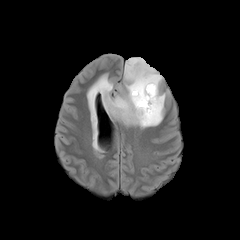
FLAIR MR.
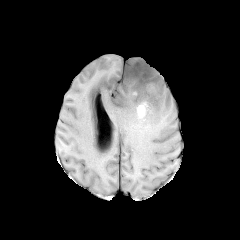
Same slice, T1-weighted MR.
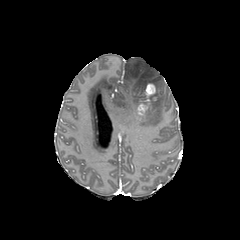
Post-contrast T1-weighted magnetic resonance of the same slice.
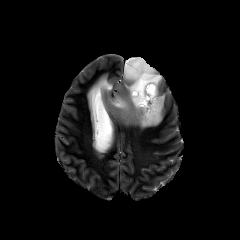
T2-weighted MRI.
240x240
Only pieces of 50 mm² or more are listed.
enhancing tumor: (137,103,147,114), (144,83,155,101) | peritumoral edema: (87,57,166,127)